Image size 240x240.
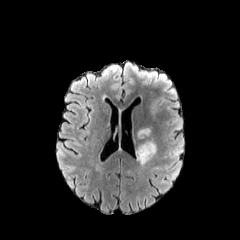
FLAIR MR.
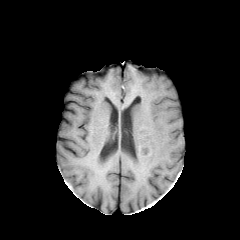
T1-weighted MR of the same slice.
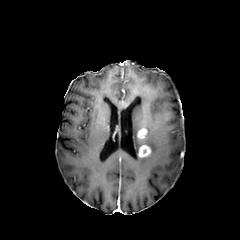
Post-contrast T1-weighted magnetic resonance of the same slice.
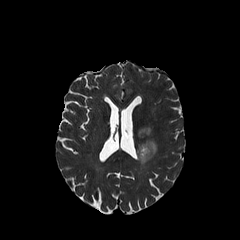
T2-weighted MR.
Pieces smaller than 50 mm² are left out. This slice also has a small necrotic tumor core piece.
enhancing tumor — box(138, 145, 151, 157); box(137, 128, 147, 138)
peritumoral edema — box(136, 141, 156, 164)